FLAIR MR image.
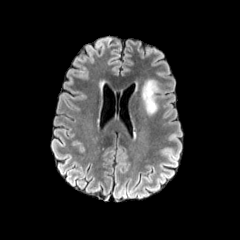
T1-weighted MR.
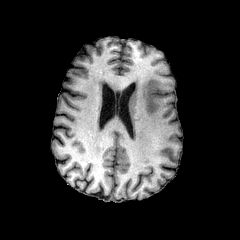
Post-contrast T1-weighted MR.
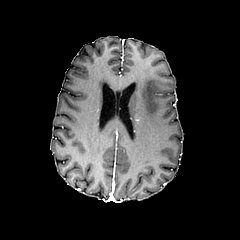
T2-weighted MR.
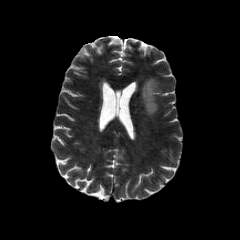
Head; Axial slice
peritumoral edema: bounding box 142,79,158,115